Axial plane; Brain
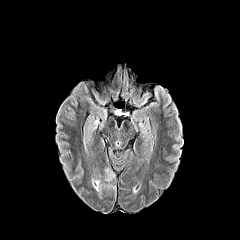
FLAIR MRI.
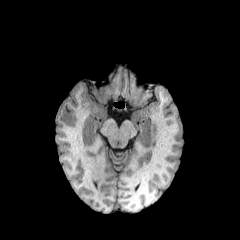
T1-weighted magnetic resonance of the same slice.
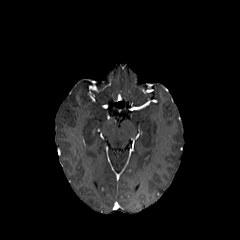
Post-contrast T1-weighted MRI.
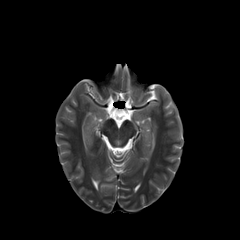
T2-weighted MR image.
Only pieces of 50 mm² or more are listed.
peritumoral_edema:
  - region(105, 172, 114, 181)
  - region(92, 178, 100, 191)